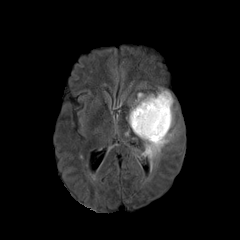
FLAIR magnetic resonance.
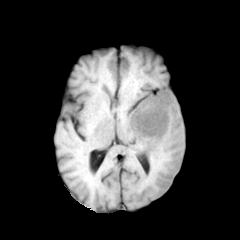
T1-weighted MR.
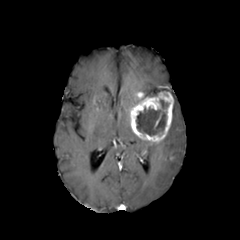
Post-contrast T1-weighted MRI of the same slice.
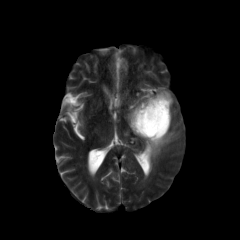
T2-weighted magnetic resonance.
Brain, Axial view
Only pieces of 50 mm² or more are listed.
peritumoral_edema:
  - (144,108,178,170)
enhancing_tumor:
  - (129,91,173,143)
necrotic_tumor_core:
  - (136,99,169,135)